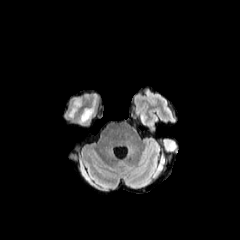
FLAIR MRI.
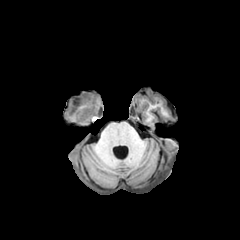
T1-weighted MRI.
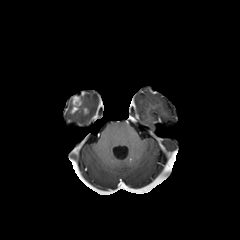
Post-contrast T1-weighted MR.
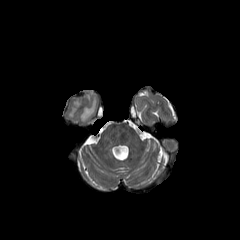
T2-weighted MR image.
Axial slice | 240x240
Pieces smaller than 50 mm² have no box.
peritumoral edema = (80, 95, 96, 122)
enhancing tumor = (70, 96, 82, 113)